Head
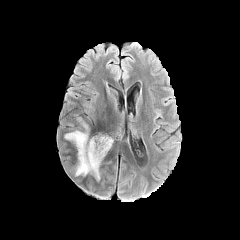
FLAIR MR image.
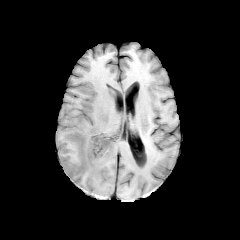
Same slice, T1-weighted magnetic resonance.
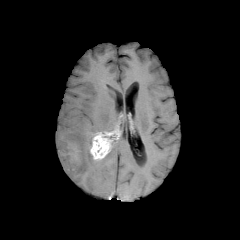
Post-contrast T1-weighted MRI of the same slice.
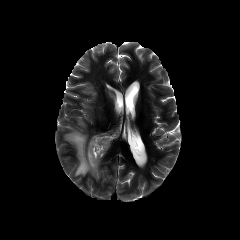
T2-weighted MR image.
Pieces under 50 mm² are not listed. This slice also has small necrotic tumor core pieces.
<segmentation>
  <enhancing_tumor>left=86, top=130, right=113, bottom=160</enhancing_tumor>
  <peritumoral_edema>left=64, top=116, right=101, bottom=181</peritumoral_edema>
</segmentation>